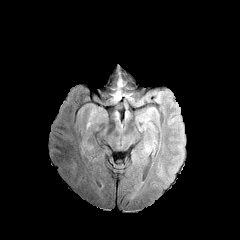
FLAIR MR.
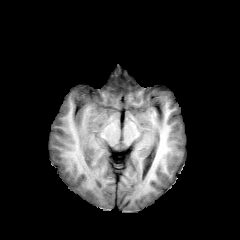
T1-weighted MR of the same slice.
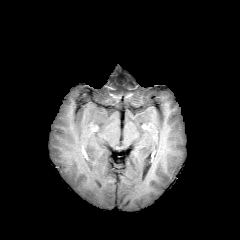
Post-contrast T1-weighted MR.
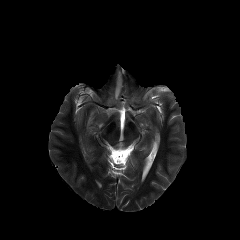
T2-weighted MR image.
peritumoral edema at 114:78:122:100